240x240; Axial view; Head
FLAIR magnetic resonance.
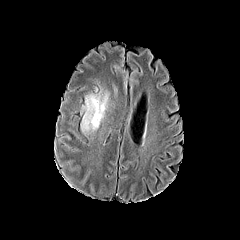
T1-weighted MR.
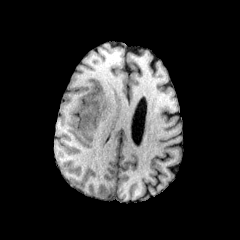
Post-contrast T1-weighted MRI.
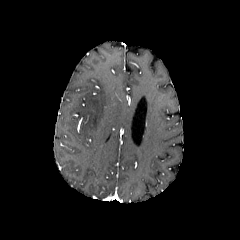
T2-weighted MRI.
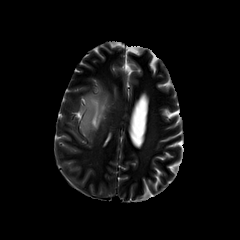
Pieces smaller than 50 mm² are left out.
The largest peritumoral edema region is at {"x1": 81, "y1": 90, "x2": 109, "y2": 133}.